FLAIR MR.
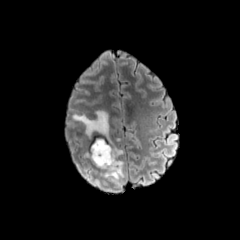
T1-weighted MR image.
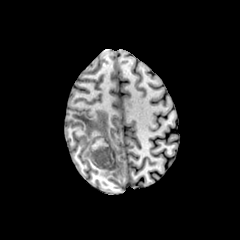
Post-contrast T1-weighted MR.
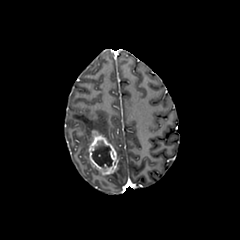
T2-weighted MRI.
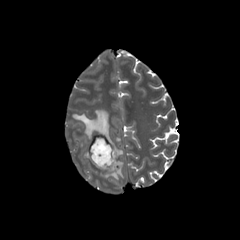
Head.
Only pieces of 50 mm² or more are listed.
necrotic tumor core = region(92, 141, 112, 167)
peritumoral edema = region(72, 110, 123, 159); region(100, 160, 124, 182)
enhancing tumor = region(88, 130, 118, 175)